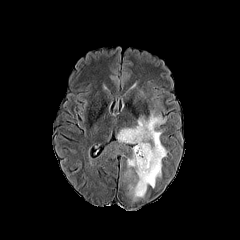
FLAIR MRI.
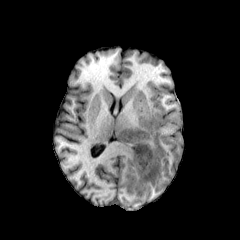
T1-weighted MR.
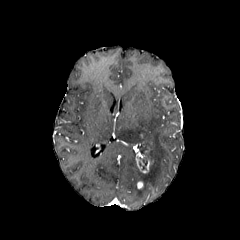
Post-contrast T1-weighted MRI.
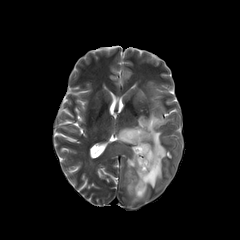
T2-weighted magnetic resonance.
240x240 px
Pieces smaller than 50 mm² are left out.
{
  "peritumoral_edema": [
    "[106, 109, 167, 203]"
  ],
  "necrotic_tumor_core": [
    "[137, 144, 147, 154]"
  ],
  "enhancing_tumor": [
    "[133, 143, 154, 173]"
  ]
}